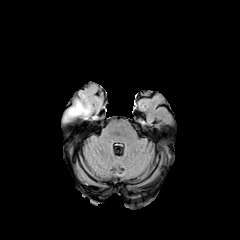
FLAIR MR.
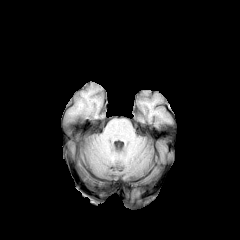
T1-weighted MR image.
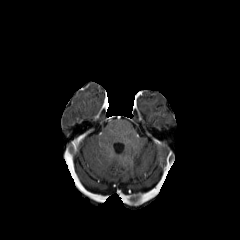
Post-contrast T1-weighted MR image.
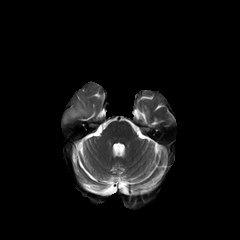
T2-weighted MR.
Axial view; Brain
The peritumoral edema is at box=[61, 83, 102, 124].